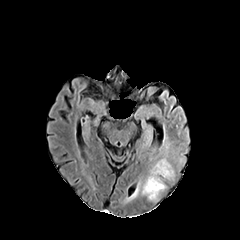
FLAIR MR image.
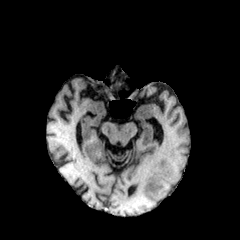
T1-weighted magnetic resonance.
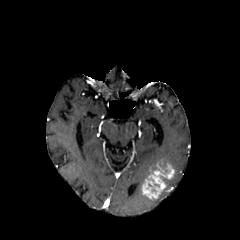
Post-contrast T1-weighted magnetic resonance.
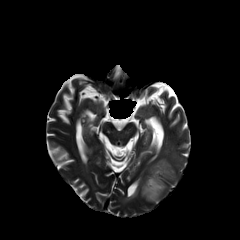
Same slice, T2-weighted MR.
Head.
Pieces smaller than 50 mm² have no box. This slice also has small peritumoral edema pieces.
enhancing tumor = (141,159,174,200)